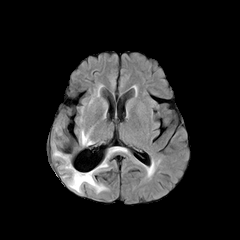
FLAIR magnetic resonance.
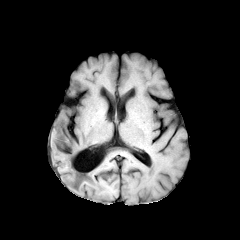
T1-weighted MRI of the same slice.
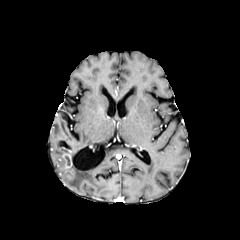
Post-contrast T1-weighted magnetic resonance.
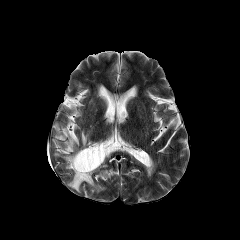
Same slice, T2-weighted MRI.
Head, 240x240
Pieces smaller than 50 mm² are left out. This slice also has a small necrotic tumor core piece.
<segmentation>
  <enhancing_tumor>x1=61 y1=154 x2=72 y2=167</enhancing_tumor>
  <peritumoral_edema>x1=53 y1=150 x2=63 y2=159, x1=60 y1=148 x2=114 y2=192, x1=80 y1=129 x2=93 y2=145</peritumoral_edema>
</segmentation>